FLAIR MR image.
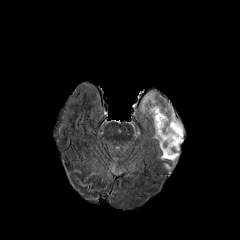
T1-weighted magnetic resonance.
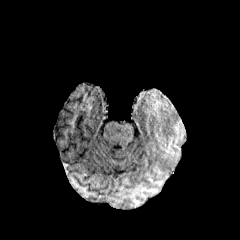
Post-contrast T1-weighted MR.
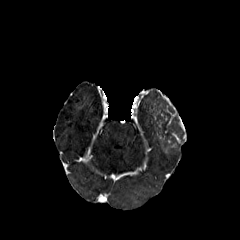
T2-weighted MR.
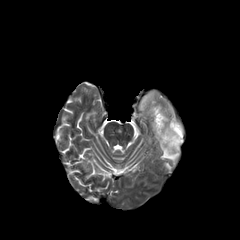
Head. Axial view.
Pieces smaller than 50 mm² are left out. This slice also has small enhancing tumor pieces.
Annotated regions:
- necrotic tumor core: 154 107 183 147
- peritumoral edema: 155 120 178 160